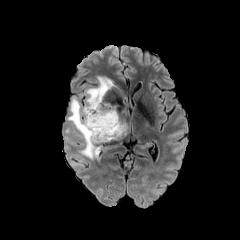
FLAIR MRI.
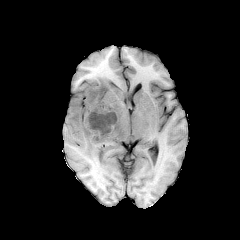
T1-weighted magnetic resonance.
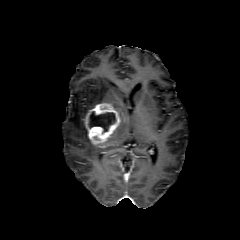
Post-contrast T1-weighted MR.
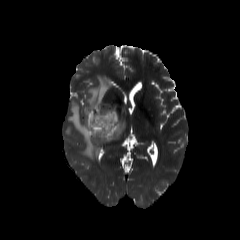
T2-weighted magnetic resonance.
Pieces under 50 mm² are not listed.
The necrotic tumor core lies within (88, 111, 115, 131). The 2 largest peritumoral edema regions appear at (66, 76, 113, 159), (107, 119, 124, 141). The enhancing tumor is located at (84, 103, 120, 147).